FLAIR MR.
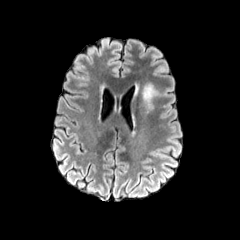
T1-weighted magnetic resonance.
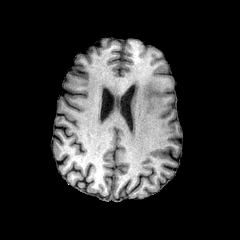
Post-contrast T1-weighted MRI.
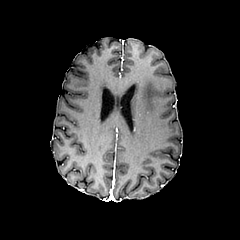
T2-weighted MR.
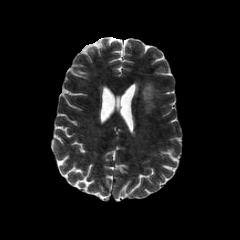
Axial slice.
peritumoral edema: l=142, t=83, r=155, b=111